FLAIR MRI.
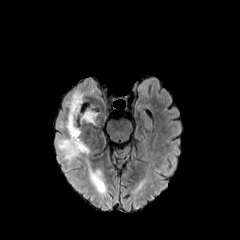
T1-weighted MR image.
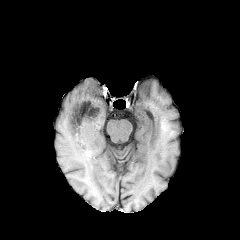
Post-contrast T1-weighted magnetic resonance.
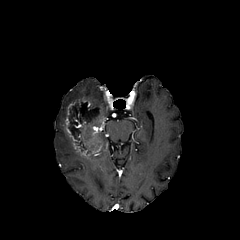
T2-weighted MR image.
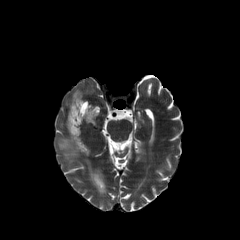
240x240 px | Head
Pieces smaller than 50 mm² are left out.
Annotated regions:
• enhancing tumor: l=63, t=96, r=108, b=155
• peritumoral edema: l=57, t=137, r=82, b=163; l=85, t=156, r=106, b=194; l=66, t=90, r=82, b=105
• necrotic tumor core: l=68, t=102, r=99, b=140